FLAIR MRI.
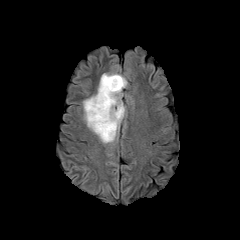
T1-weighted magnetic resonance.
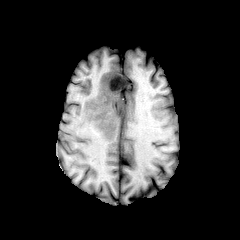
Post-contrast T1-weighted MR image.
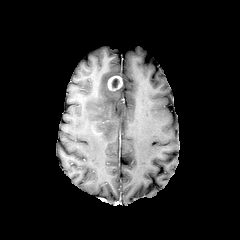
T2-weighted MR image.
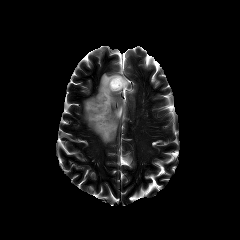
Axial view; Head
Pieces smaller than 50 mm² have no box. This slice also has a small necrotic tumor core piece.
Findings:
* enhancing tumor: box(107, 75, 122, 92)
* peritumoral edema: box(83, 72, 127, 143)